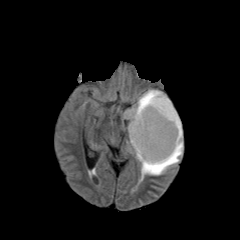
FLAIR MR image.
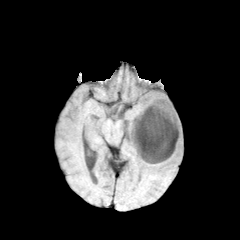
T1-weighted magnetic resonance.
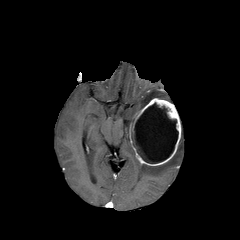
Post-contrast T1-weighted MR image.
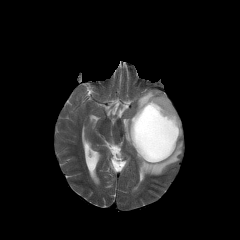
Same slice, T2-weighted MR.
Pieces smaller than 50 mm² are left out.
enhancing tumor = 129:98:181:166
necrotic tumor core = 131:103:178:163
peritumoral edema = 123:90:169:135, 140:131:183:181